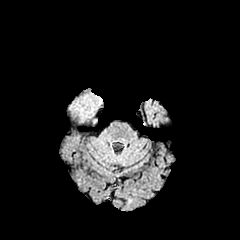
FLAIR magnetic resonance.
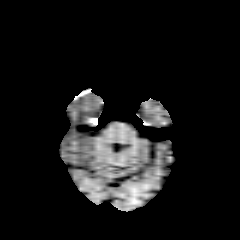
T1-weighted MR image.
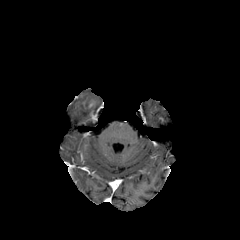
Post-contrast T1-weighted MRI.
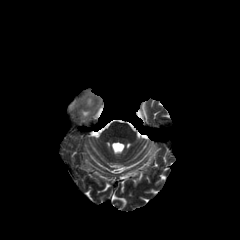
T2-weighted MR.
Brain | Axial slice
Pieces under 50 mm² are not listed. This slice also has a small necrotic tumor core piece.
Segmented structures:
* peritumoral edema: bbox(79, 108, 89, 119)
* enhancing tumor: bbox(88, 99, 95, 108)